FLAIR MR image.
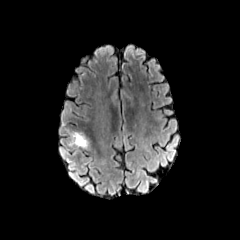
T1-weighted MRI.
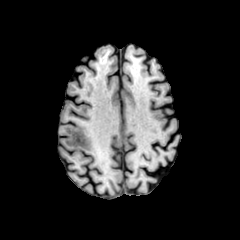
Post-contrast T1-weighted MR image.
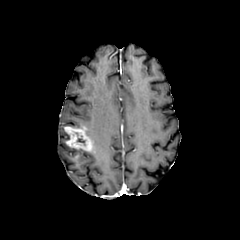
T2-weighted MRI.
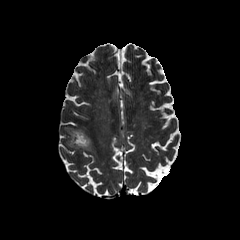
Brain, 240x240 px
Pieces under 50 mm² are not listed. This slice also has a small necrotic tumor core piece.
Segmented structures:
* enhancing tumor: x1=64, y1=126, x2=92, y2=151